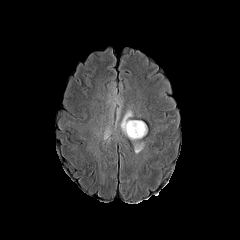
FLAIR MRI.
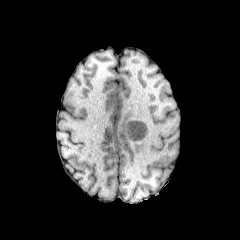
Same slice, T1-weighted magnetic resonance.
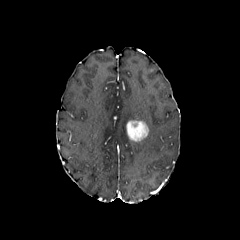
Post-contrast T1-weighted MR.
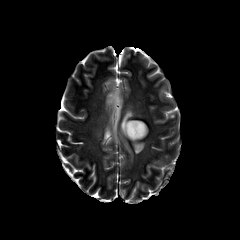
Same slice, T2-weighted MR.
Axial plane, Brain
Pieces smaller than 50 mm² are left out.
enhancing tumor — 126,120,148,141
peritumoral edema — 120,109,133,136; 132,141,144,153; 116,102,122,125; 104,125,111,139